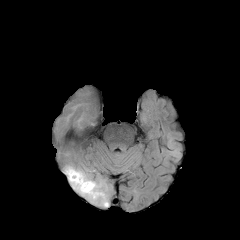
FLAIR MR.
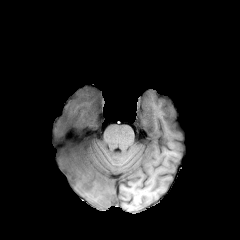
T1-weighted magnetic resonance.
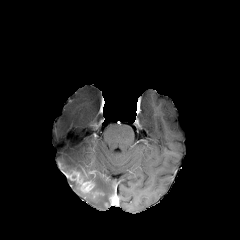
Post-contrast T1-weighted magnetic resonance.
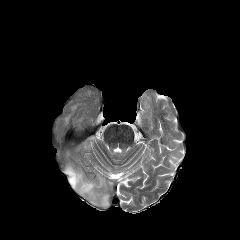
T2-weighted MRI.
240x240 px; Brain; Axial slice
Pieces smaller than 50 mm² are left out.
Findings:
- enhancing tumor: (left=62, top=170, right=94, bottom=193)
- peritumoral edema: (left=63, top=163, right=109, bottom=207)